Slice 91/155 | Axial slice
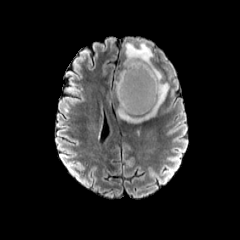
FLAIR MRI.
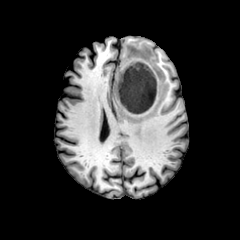
Same slice, T1-weighted MR.
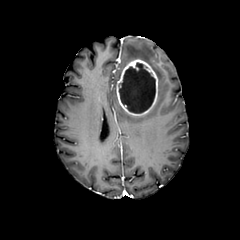
Post-contrast T1-weighted MRI of the same slice.
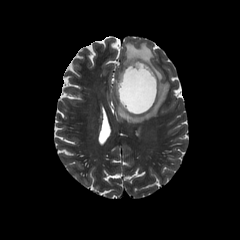
T2-weighted MRI.
peritumoral edema: 117,42,169,123 | necrotic tumor core: 119,63,155,113 | enhancing tumor: 116,59,158,116